Axial plane. Slice 87/155.
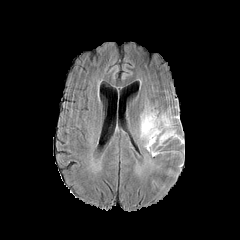
FLAIR MRI.
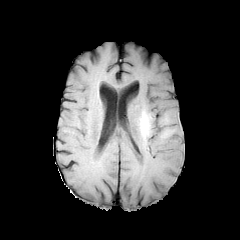
T1-weighted MRI of the same slice.
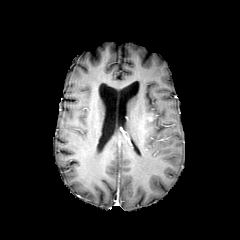
Post-contrast T1-weighted MR image of the same slice.
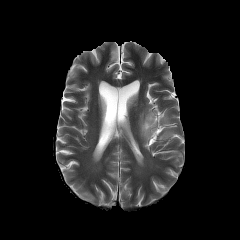
T2-weighted MRI.
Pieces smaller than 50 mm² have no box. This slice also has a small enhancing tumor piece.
Segmented structures:
• peritumoral edema: (160,131,180,143), (141,113,169,150)